FLAIR MR.
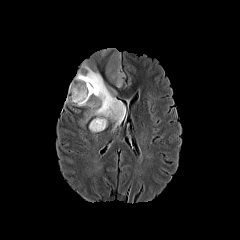
T1-weighted magnetic resonance.
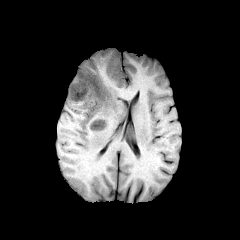
Post-contrast T1-weighted magnetic resonance.
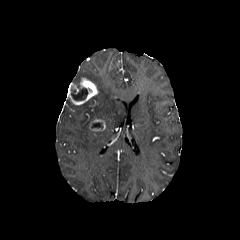
T2-weighted MR image.
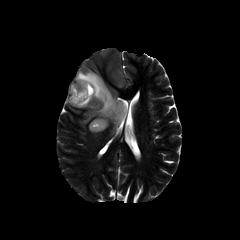
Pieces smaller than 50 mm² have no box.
The 2 largest enhancing tumor regions are located at region(66, 77, 98, 105); region(89, 119, 105, 132). The 3 largest peritumoral edema regions are located at region(66, 100, 80, 113); region(79, 115, 88, 124); region(74, 48, 126, 129). 2 necrotic tumor core regions are located at region(71, 88, 91, 100); region(91, 122, 102, 128).